FLAIR magnetic resonance.
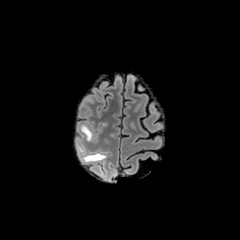
T1-weighted MRI.
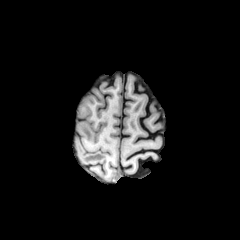
Post-contrast T1-weighted MR image.
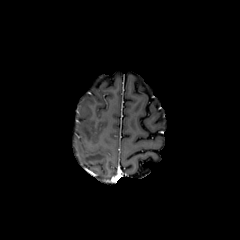
T2-weighted MR image.
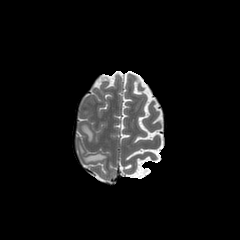
240x240
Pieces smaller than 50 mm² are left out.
{
  "peritumoral_edema": [
    "box(82, 153, 105, 161)",
    "box(81, 125, 92, 140)"
  ]
}